FLAIR MRI.
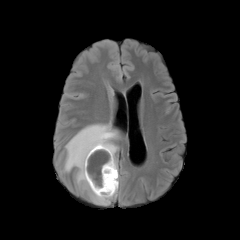
T1-weighted magnetic resonance.
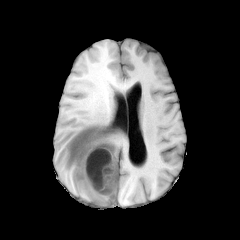
Post-contrast T1-weighted MRI.
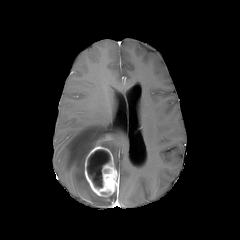
T2-weighted MRI.
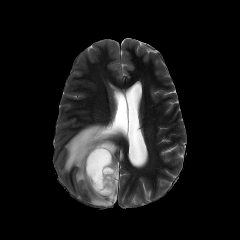
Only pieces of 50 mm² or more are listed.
Findings:
- peritumoral edema: region(63, 122, 118, 205)
- necrotic tumor core: region(87, 149, 110, 187)
- enhancing tumor: region(85, 135, 119, 196)